Image size 240x240 | Slice 58/155
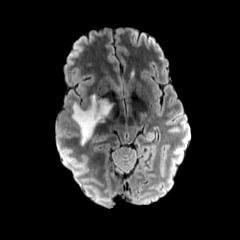
FLAIR magnetic resonance.
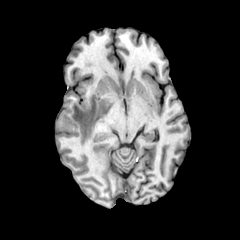
T1-weighted MR image.
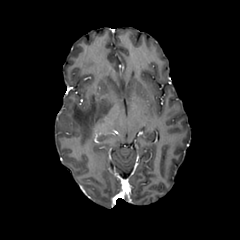
Post-contrast T1-weighted MRI.
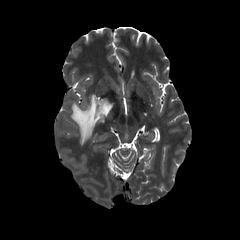
T2-weighted MR.
{"peritumoral_edema": ["71:94:112:144"]}